240x240 px; Head
FLAIR MR.
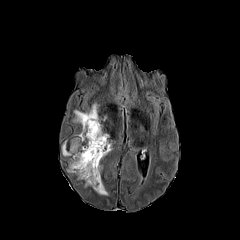
T1-weighted MRI.
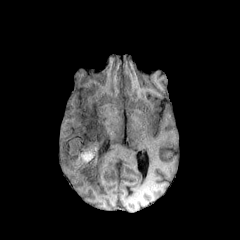
Post-contrast T1-weighted MRI.
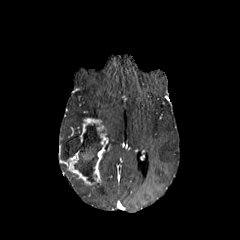
T2-weighted MR image.
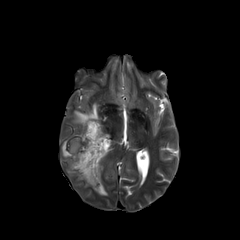
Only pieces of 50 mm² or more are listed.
enhancing tumor: box=[65, 118, 108, 185] | necrotic tumor core: box=[74, 124, 102, 182] | peritumoral edema: box=[73, 104, 98, 123]; box=[62, 137, 80, 156]; box=[92, 182, 107, 195]